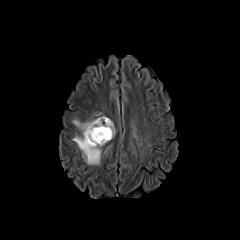
FLAIR MR.
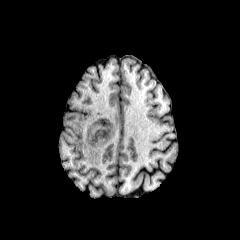
T1-weighted MRI.
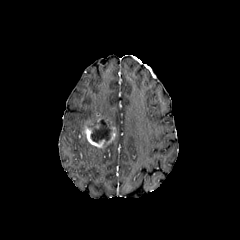
Same slice, post-contrast T1-weighted MR image.
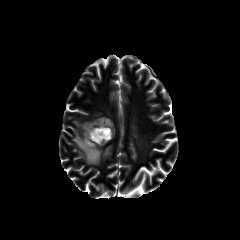
T2-weighted MRI.
Brain; Axial view
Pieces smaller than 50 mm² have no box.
necrotic tumor core at (87, 119, 111, 142)
enhancing tumor at (82, 121, 115, 147)
peritumoral edema at (72, 119, 87, 132), (72, 134, 102, 165)